Axial view. Head. 240x240.
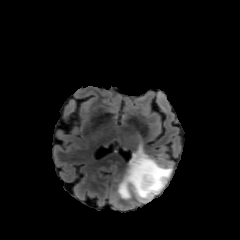
FLAIR MR image.
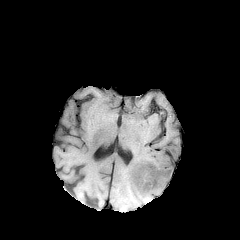
Same slice, T1-weighted magnetic resonance.
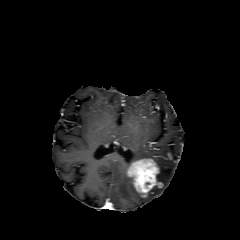
Same slice, post-contrast T1-weighted MRI.
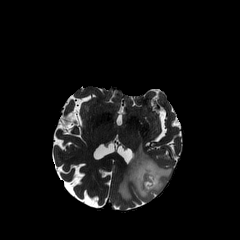
T2-weighted MR.
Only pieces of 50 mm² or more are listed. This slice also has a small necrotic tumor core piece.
peritumoral edema: [117, 144, 172, 202]
enhancing tumor: [127, 158, 163, 197]